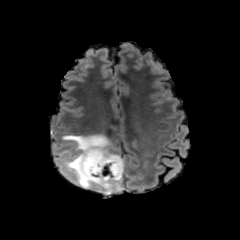
FLAIR MRI.
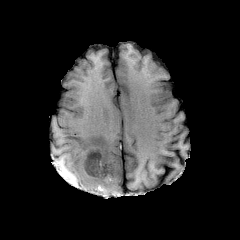
T1-weighted MRI.
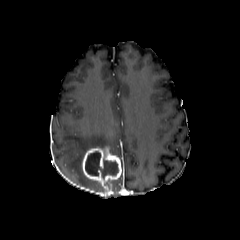
Post-contrast T1-weighted MRI of the same slice.
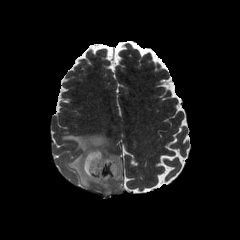
Same slice, T2-weighted MR.
Head
The necrotic tumor core is bounded by [85, 151, 118, 178]. The enhancing tumor is at [82, 147, 123, 191]. 2 peritumoral edema regions are located at [62, 134, 123, 190], [112, 170, 123, 190].